Slice 52/155; Image covers 240 mm x 240 mm; Image size 240x240
FLAIR MR.
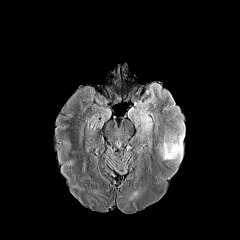
T1-weighted MRI.
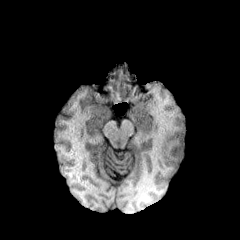
Post-contrast T1-weighted magnetic resonance.
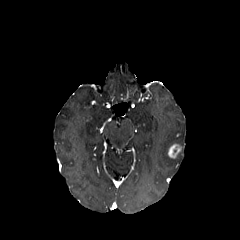
T2-weighted MR image.
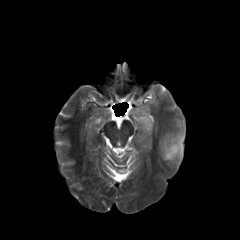
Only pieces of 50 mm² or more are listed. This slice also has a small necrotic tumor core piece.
enhancing_tumor:
  - [168,143,183,158]
peritumoral_edema:
  - [150,84,161,93]
  - [159,121,184,162]
  - [137,111,152,141]